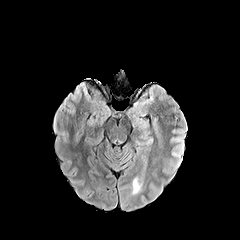
FLAIR MR image.
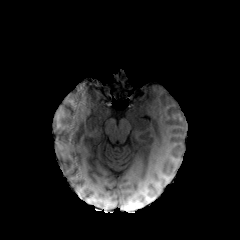
Same slice, T1-weighted MR.
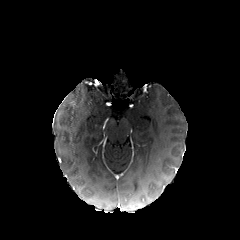
Post-contrast T1-weighted MR.
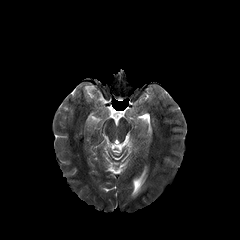
T2-weighted MR of the same slice.
peritumoral edema: <bbox>131, 175, 141, 195</bbox>